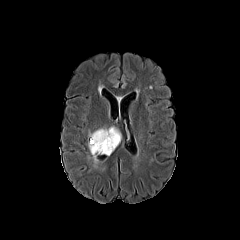
FLAIR magnetic resonance.
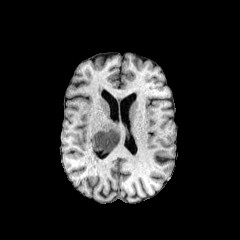
T1-weighted MRI of the same slice.
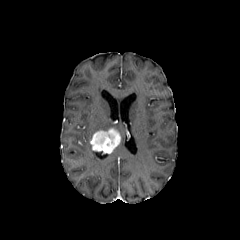
Post-contrast T1-weighted magnetic resonance.
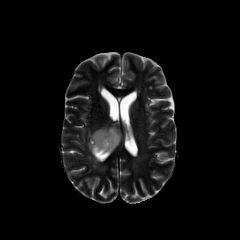
T2-weighted magnetic resonance.
Brain; Axial slice; 240x240 px
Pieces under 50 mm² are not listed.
<segmentation>
  <peritumoral_edema>x1=88 y1=127 x2=109 y2=167</peritumoral_edema>
  <enhancing_tumor>x1=90 y1=128 x2=120 y2=153</enhancing_tumor>
</segmentation>